Slice 125 of 155; Brain; Image width 240 mm, 1.00 mm slice spacing
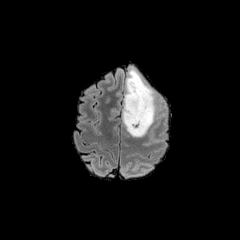
FLAIR magnetic resonance.
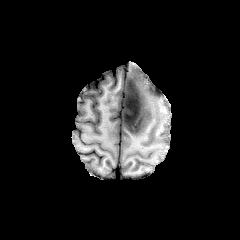
T1-weighted magnetic resonance of the same slice.
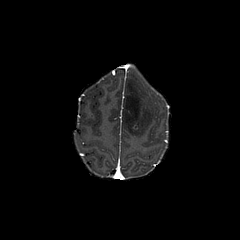
Post-contrast T1-weighted MR.
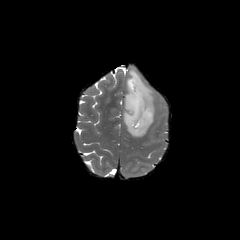
T2-weighted magnetic resonance.
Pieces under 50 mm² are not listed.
The necrotic tumor core is bounded by bbox=[123, 81, 141, 134]. The largest peritumoral edema region is bounded by bbox=[126, 68, 154, 136].